Slice index 118; Head
FLAIR MR.
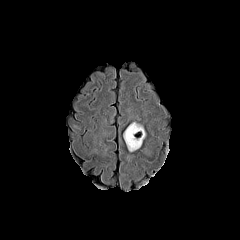
T1-weighted MRI.
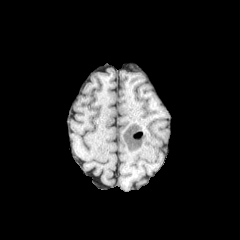
Post-contrast T1-weighted MR.
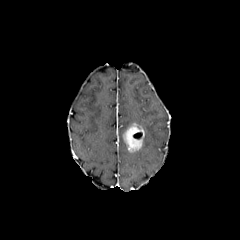
T2-weighted MR image.
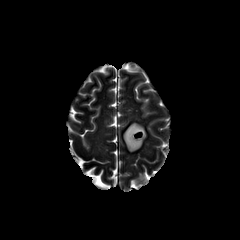
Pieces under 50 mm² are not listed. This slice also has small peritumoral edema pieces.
- necrotic tumor core: 133,132,142,139
- enhancing tumor: 123,123,144,152